Slice index 52; 240x240; Head
FLAIR MRI.
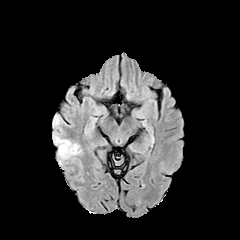
T1-weighted MR image.
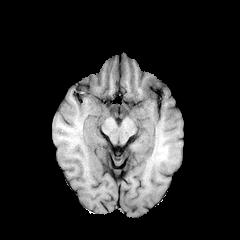
Post-contrast T1-weighted MRI.
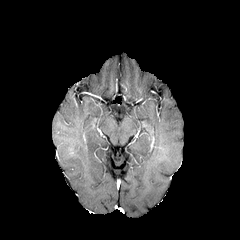
T2-weighted MRI.
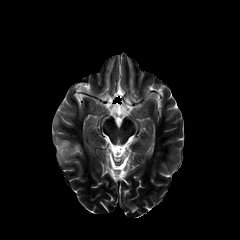
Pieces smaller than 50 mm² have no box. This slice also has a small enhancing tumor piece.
peritumoral edema at [54,136,79,159]